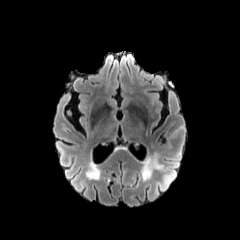
FLAIR MRI.
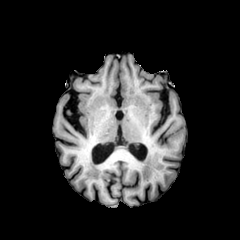
T1-weighted MRI.
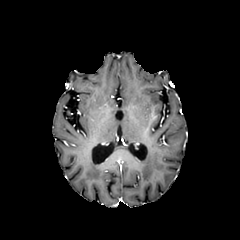
Same slice, post-contrast T1-weighted magnetic resonance.
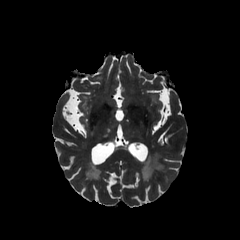
T2-weighted magnetic resonance of the same slice.
240x240 px, Axial slice
peritumoral edema: box(141, 152, 164, 181)